Head. Axial plane.
FLAIR MR.
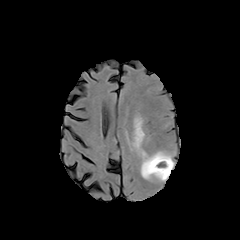
T1-weighted MR.
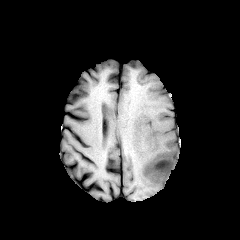
Post-contrast T1-weighted MR image.
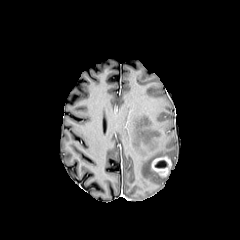
T2-weighted MR image.
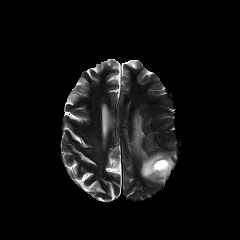
Annotated regions:
- necrotic tumor core: (155,160,167,167)
- peritumoral edema: (132,116,174,181)
- enhancing tumor: (151,156,171,177)